Slice 54/155, Image covers 240 mm x 240 mm, Image size 240x240
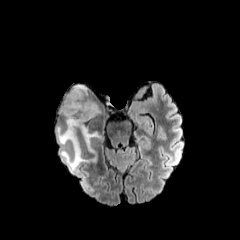
FLAIR MR.
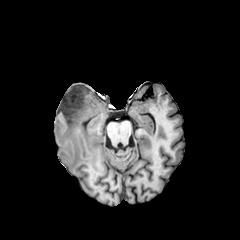
T1-weighted MR of the same slice.
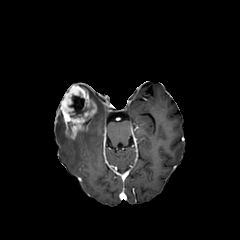
Post-contrast T1-weighted MR image of the same slice.
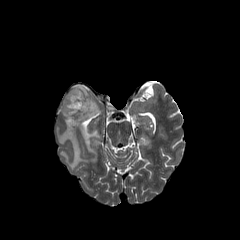
T2-weighted magnetic resonance.
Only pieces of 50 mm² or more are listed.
peritumoral edema: {"x1": 56, "y1": 126, "x2": 88, "y2": 171}, {"x1": 81, "y1": 129, "x2": 100, "y2": 152} | necrotic tumor core: {"x1": 69, "y1": 95, "x2": 91, "y2": 116} | enhancing tumor: {"x1": 59, "y1": 84, "x2": 96, "y2": 139}